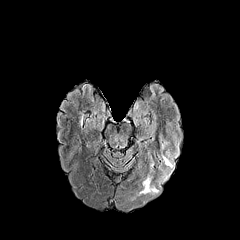
FLAIR magnetic resonance.
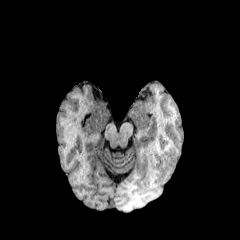
Same slice, T1-weighted magnetic resonance.
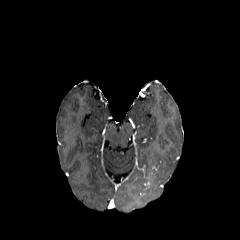
Post-contrast T1-weighted magnetic resonance of the same slice.
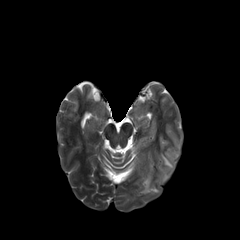
T2-weighted MRI of the same slice.
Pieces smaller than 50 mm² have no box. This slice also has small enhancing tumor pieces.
peritumoral edema at box(161, 151, 173, 181); box(140, 185, 159, 193)